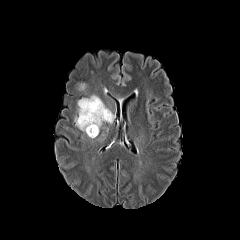
FLAIR MR.
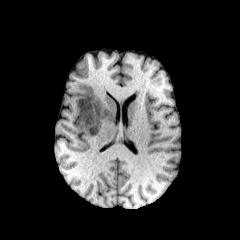
Same slice, T1-weighted MR.
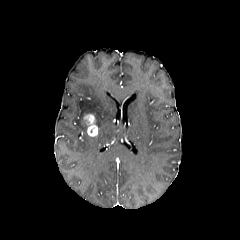
Post-contrast T1-weighted MRI of the same slice.
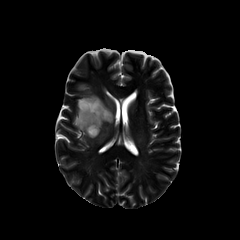
Same slice, T2-weighted MRI.
Axial plane, Brain
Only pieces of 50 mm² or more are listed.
peritumoral edema: bounding box box=[74, 95, 114, 134]
enhancing tumor: bounding box box=[82, 113, 98, 136]